240x240 px, Head, Axial slice
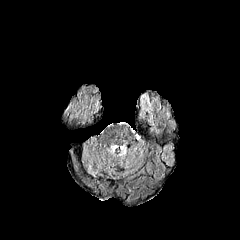
FLAIR MRI.
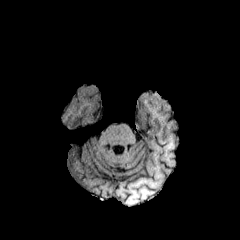
T1-weighted MR image.
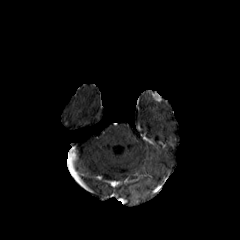
Post-contrast T1-weighted MRI of the same slice.
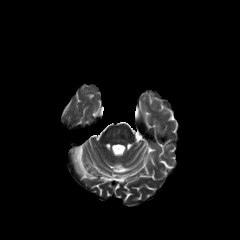
T2-weighted magnetic resonance.
<segmentation>
  <enhancing_tumor>69,148,75,159</enhancing_tumor>
</segmentation>